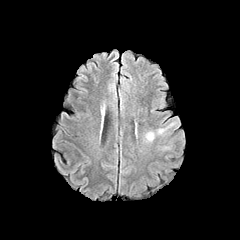
FLAIR MR.
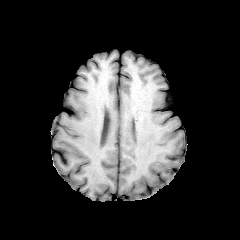
T1-weighted MR.
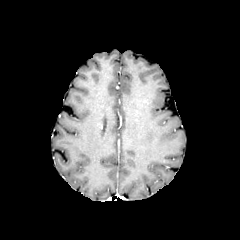
Post-contrast T1-weighted MR image.
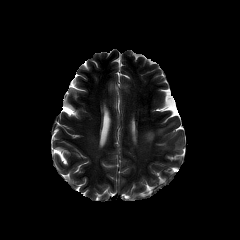
T2-weighted MR.
240x240 px, Brain
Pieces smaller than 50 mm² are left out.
peritumoral_edema:
  - (x1=145, y1=131, x2=154, y2=141)